FLAIR MR.
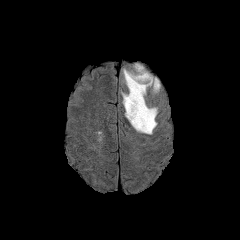
T1-weighted MR.
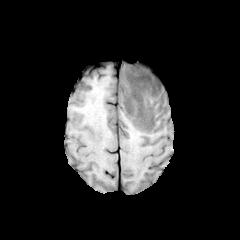
Post-contrast T1-weighted MR.
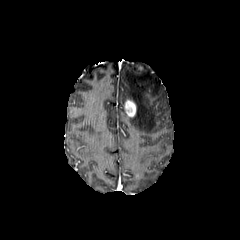
T2-weighted MRI.
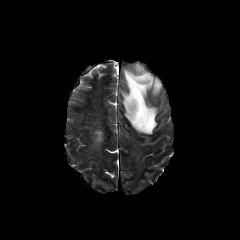
<segmentation>
  <peritumoral_edema>[122, 64, 160, 134]</peritumoral_edema>
  <enhancing_tumor>[125, 100, 135, 116]</enhancing_tumor>
</segmentation>